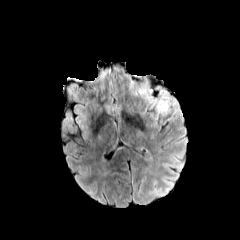
FLAIR MR image.
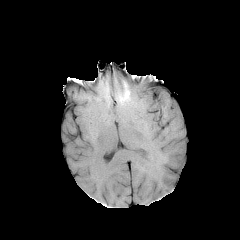
T1-weighted MR.
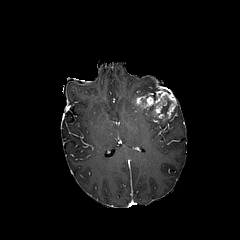
Post-contrast T1-weighted MR image.
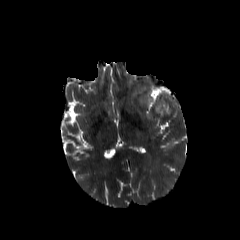
Same slice, T2-weighted MR.
Axial view, 240x240 px
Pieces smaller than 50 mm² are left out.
{"necrotic_tumor_core": ["(left=157, top=96, right=172, bottom=116)"], "enhancing_tumor": ["(left=136, top=89, right=176, bottom=118)"], "peritumoral_edema": ["(left=134, top=86, right=151, bottom=94)"]}